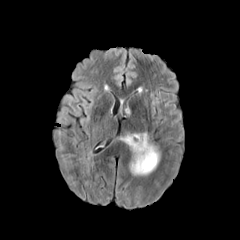
FLAIR MR.
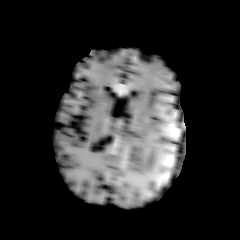
T1-weighted magnetic resonance.
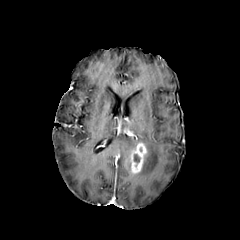
Post-contrast T1-weighted MRI.
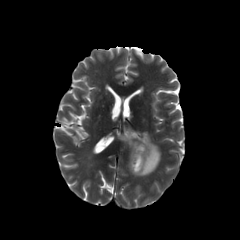
T2-weighted MR image.
Axial view
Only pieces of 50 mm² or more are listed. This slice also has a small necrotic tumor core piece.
The peritumoral edema is bounded by 119,132,160,176. The enhancing tumor is located at 129,141,147,175.